Brain, 240x240 px, Axial slice
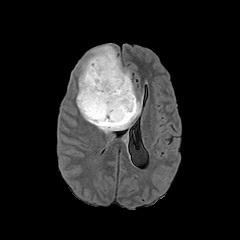
FLAIR MR.
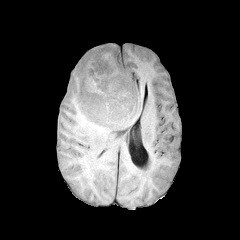
Same slice, T1-weighted MR image.
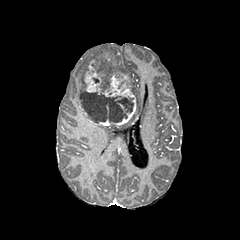
Same slice, post-contrast T1-weighted magnetic resonance.
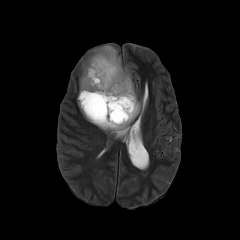
T2-weighted magnetic resonance.
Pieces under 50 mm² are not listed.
<segmentation>
  <peritumoral_edema>box(76, 44, 141, 133)</peritumoral_edema>
  <necrotic_tumor_core>box(79, 91, 127, 123); box(117, 98, 133, 112)</necrotic_tumor_core>
  <enhancing_tumor>box(82, 59, 136, 126)</enhancing_tumor>
</segmentation>